Head, 240x240 px, Axial plane
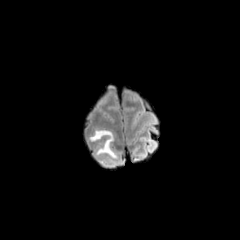
FLAIR magnetic resonance.
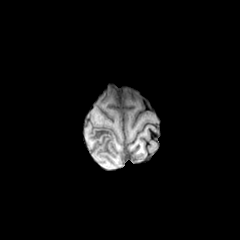
T1-weighted magnetic resonance of the same slice.
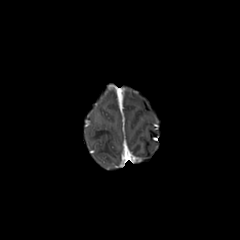
Post-contrast T1-weighted MR of the same slice.
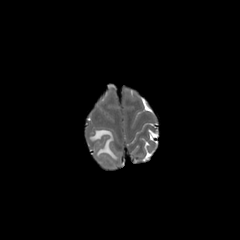
T2-weighted MR image.
peritumoral edema: 89,129,119,166